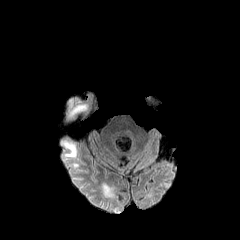
FLAIR MR.
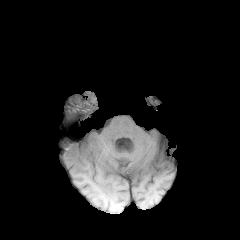
T1-weighted MRI.
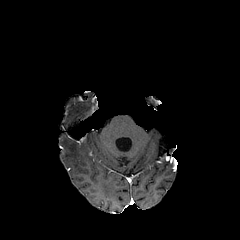
Post-contrast T1-weighted MRI of the same slice.
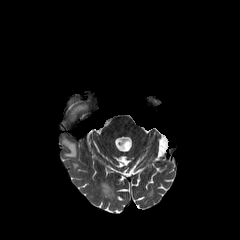
T2-weighted MRI.
240x240 px, Brain
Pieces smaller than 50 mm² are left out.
peritumoral edema — rect(64, 141, 76, 157); rect(69, 105, 87, 118); rect(102, 183, 115, 197)